FLAIR magnetic resonance.
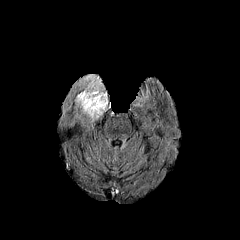
T1-weighted MR image.
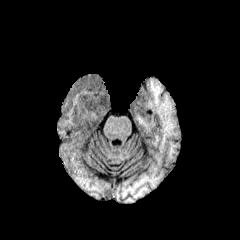
Post-contrast T1-weighted MRI.
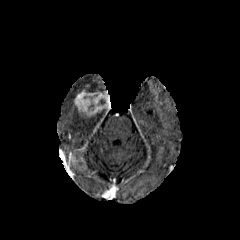
T2-weighted magnetic resonance.
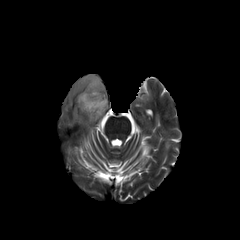
Image size 240x240 | Brain
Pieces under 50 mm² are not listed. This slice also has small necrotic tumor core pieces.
Segmented structures:
* enhancing tumor: {"x1": 74, "y1": 86, "x2": 110, "y2": 116}
* peritumoral edema: {"x1": 89, "y1": 110, "x2": 106, "y2": 119}, {"x1": 77, "y1": 74, "x2": 105, "y2": 92}